Image size 240x240 | Slice 112 of 155 | Axial view | Brain
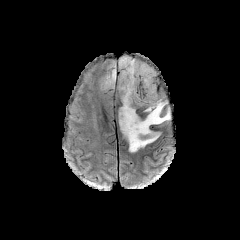
FLAIR MRI.
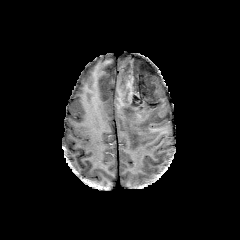
T1-weighted magnetic resonance of the same slice.
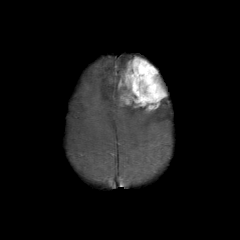
Post-contrast T1-weighted MRI of the same slice.
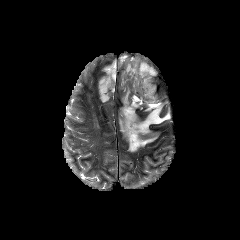
Same slice, T2-weighted MR.
3 peritumoral edema regions are bounded by x1=119 y1=56 x2=131 y2=68, x1=119 y1=100 x2=170 y2=151, x1=101 y1=62 x2=116 y2=90. The enhancing tumor is located at x1=118 y1=56 x2=166 y2=111.